FLAIR MR image.
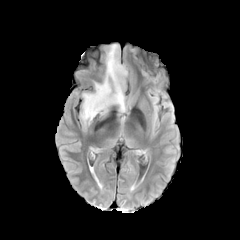
T1-weighted magnetic resonance.
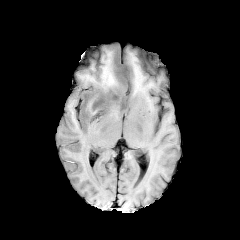
Post-contrast T1-weighted MR.
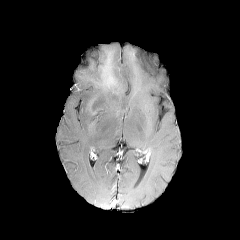
T2-weighted magnetic resonance.
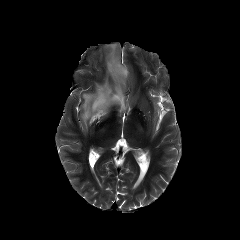
Head
{
  "peritumoral_edema": [
    "80,44,128,132"
  ]
}